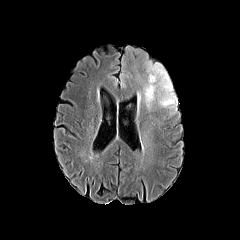
FLAIR MR image.
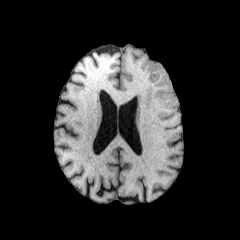
T1-weighted MR.
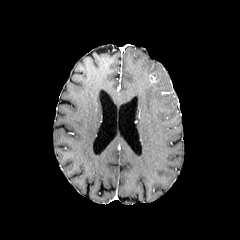
Same slice, post-contrast T1-weighted magnetic resonance.
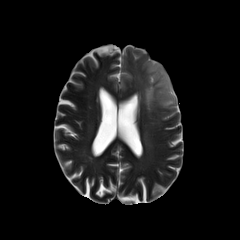
T2-weighted magnetic resonance of the same slice.
Axial view, Head
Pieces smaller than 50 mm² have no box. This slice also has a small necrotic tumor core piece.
enhancing tumor = left=150, top=74, right=158, bottom=82
peritumoral edema = left=140, top=60, right=177, bottom=110